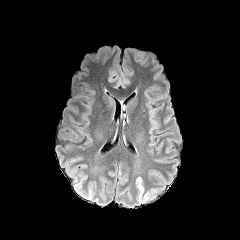
FLAIR MR.
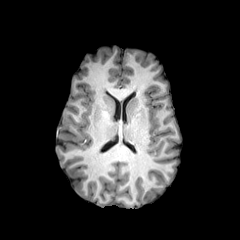
T1-weighted MR.
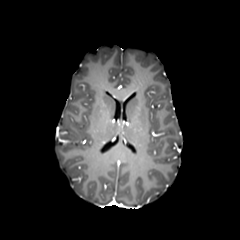
Post-contrast T1-weighted MRI.
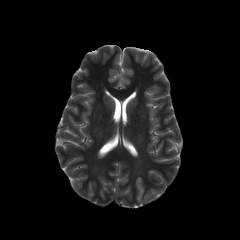
T2-weighted MR of the same slice.
peritumoral edema = [135,176,144,204]